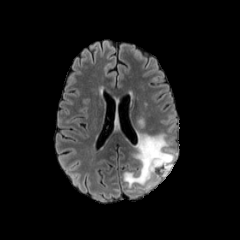
FLAIR MR.
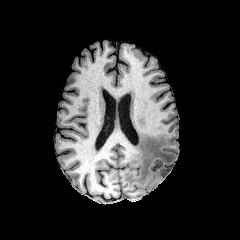
T1-weighted magnetic resonance of the same slice.
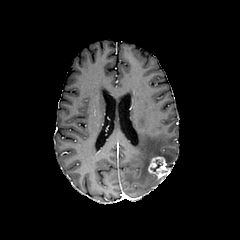
Post-contrast T1-weighted MR image.
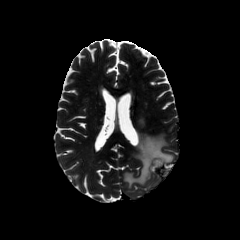
Same slice, T2-weighted MR image.
Brain
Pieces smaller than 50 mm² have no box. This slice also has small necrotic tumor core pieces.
enhancing tumor = <box>148,156,171,181</box>
peritumoral edema = <box>123,133,174,189</box>